Slice 84/155. Axial slice. Image width 240 mm, 1.00 mm slice spacing.
FLAIR magnetic resonance.
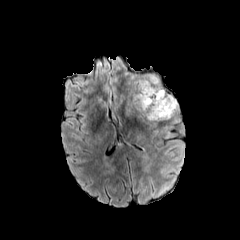
T1-weighted MR.
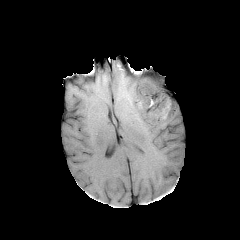
Post-contrast T1-weighted MRI.
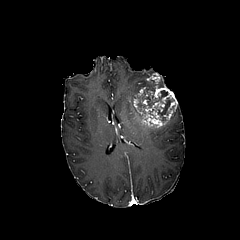
T2-weighted magnetic resonance.
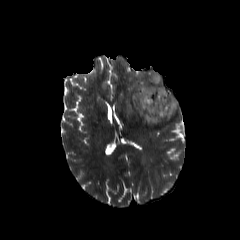
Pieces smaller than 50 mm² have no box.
peritumoral edema = (left=136, top=78, right=153, bottom=89)
enhancing tumor = (left=163, top=99, right=177, bottom=121), (left=147, top=73, right=160, bottom=83), (left=142, top=85, right=174, bottom=127)
necrotic tumor core = (left=158, top=97, right=174, bottom=123), (left=135, top=86, right=167, bottom=113)